FLAIR MR.
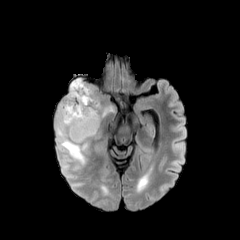
T1-weighted MR.
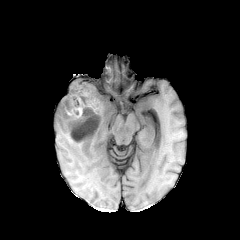
Post-contrast T1-weighted MRI.
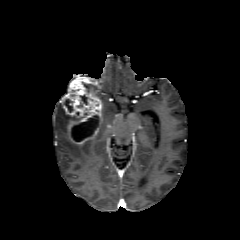
T2-weighted MR.
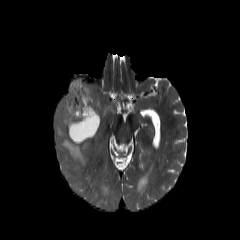
Head | Axial slice
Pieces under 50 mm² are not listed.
Findings:
* peritumoral edema: <bbox>103, 106, 113, 116</bbox>, <bbox>56, 104, 92, 165</bbox>
* enhancing tumor: <bbox>61, 78, 102, 144</bbox>
* necrotic tumor core: <bbox>71, 115, 99, 141</bbox>, <bbox>64, 99, 73, 112</bbox>